Head. Axial view. 240x240. Slice 79/155.
FLAIR MR.
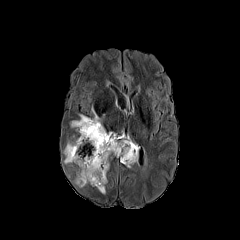
T1-weighted MRI.
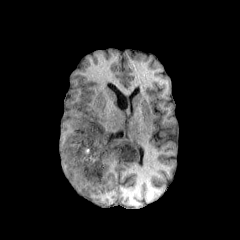
Post-contrast T1-weighted MR.
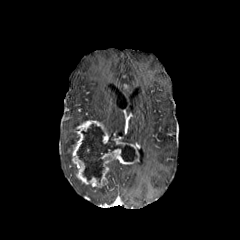
T2-weighted magnetic resonance.
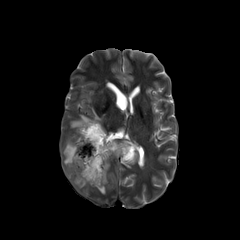
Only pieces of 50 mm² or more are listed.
enhancing tumor: <bbox>69, 120, 138, 187</bbox> | peritumoral edema: <bbox>75, 177, 85, 187</bbox>, <bbox>71, 108, 100, 127</bbox>, <bbox>64, 142, 74, 164</bbox> | necrotic tumor core: <bbox>77, 124, 137, 181</bbox>